Brain, Axial view
FLAIR magnetic resonance.
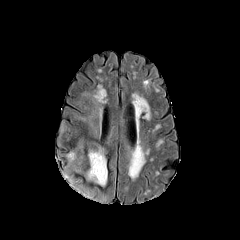
T1-weighted MR image.
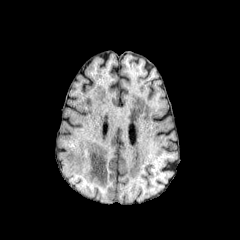
Post-contrast T1-weighted MR image.
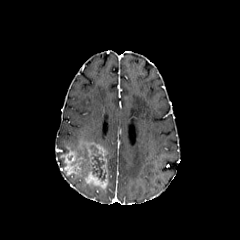
T2-weighted MR.
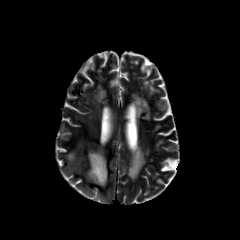
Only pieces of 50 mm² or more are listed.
The largest necrotic tumor core region is at (left=91, top=154, right=106, bottom=180). The largest peritumoral edema region is at (left=73, top=143, right=90, bottom=178). The 2 largest enhancing tumor regions are bounded by (left=60, top=147, right=86, bottom=174), (left=80, top=141, right=107, bottom=189).